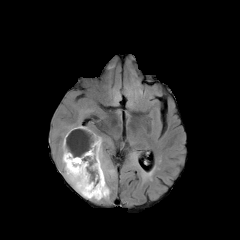
FLAIR MR.
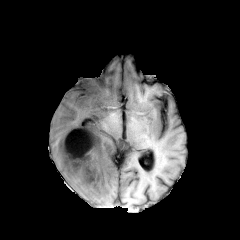
T1-weighted MR.
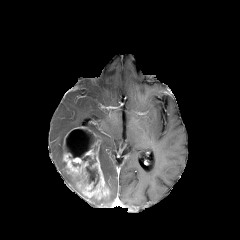
Same slice, post-contrast T1-weighted MR.
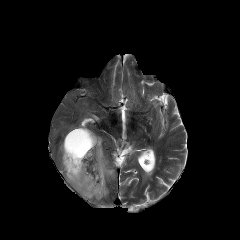
T2-weighted magnetic resonance.
240x240.
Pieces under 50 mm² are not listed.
enhancing_tumor:
  - bbox(63, 126, 109, 199)
peritumoral_edema:
  - bbox(60, 123, 83, 196)
  - bbox(99, 136, 114, 186)
necrotic_tumor_core:
  - bbox(82, 156, 99, 187)
  - bbox(65, 129, 96, 157)